240x240.
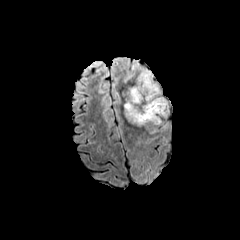
FLAIR MR.
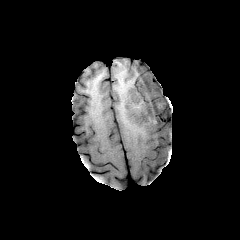
Same slice, T1-weighted MRI.
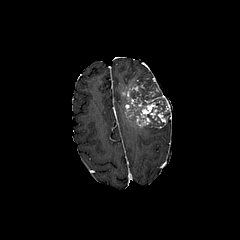
Post-contrast T1-weighted MR.
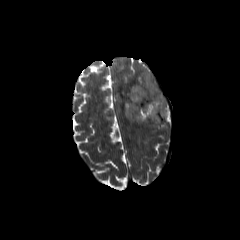
Same slice, T2-weighted MR image.
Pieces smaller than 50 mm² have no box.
enhancing tumor = (158,104,169,117), (121,78,170,128)
peritumoral edema = (137,70,153,81), (123,74,134,83)
necrotic tumor core = (127,85,168,124)